FLAIR magnetic resonance.
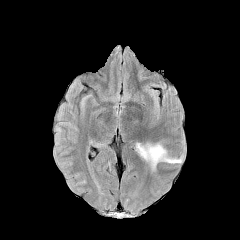
T1-weighted MR image.
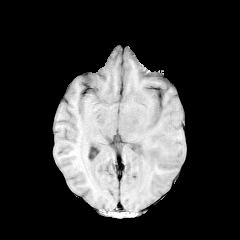
Post-contrast T1-weighted magnetic resonance.
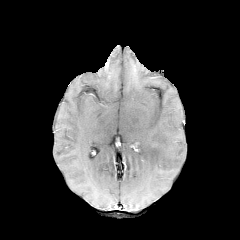
T2-weighted magnetic resonance.
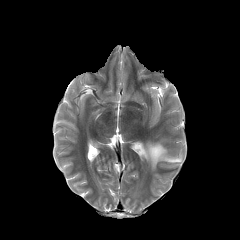
Axial view; 240x240
<segmentation>
  <peritumoral_edema>{"x1": 136, "y1": 142, "x2": 182, "y2": 170}</peritumoral_edema>
</segmentation>